Axial slice.
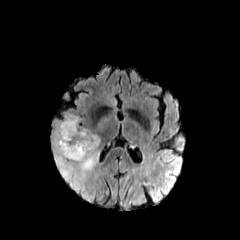
FLAIR MRI.
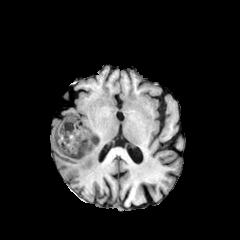
T1-weighted MR.
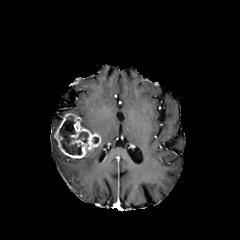
Post-contrast T1-weighted MR image.
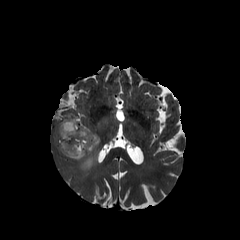
Same slice, T2-weighted magnetic resonance.
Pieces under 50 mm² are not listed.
enhancing tumor: bounding box bbox=[54, 112, 100, 158]
peritumoral edema: bounding box bbox=[51, 119, 101, 202]; bbox=[97, 117, 107, 129]
necrotic tumor core: bounding box bbox=[78, 132, 88, 142]; bbox=[59, 116, 81, 154]